Axial plane, Image width 240 mm, 1.00 mm slice spacing
FLAIR MRI.
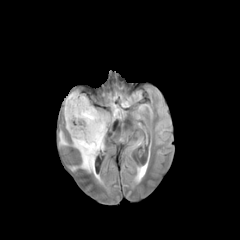
T1-weighted MR.
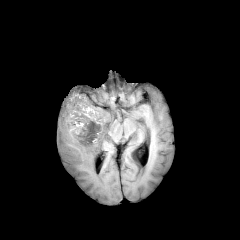
Post-contrast T1-weighted MR.
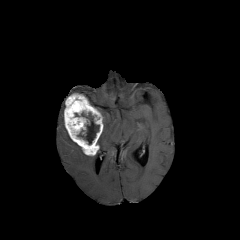
T2-weighted MR.
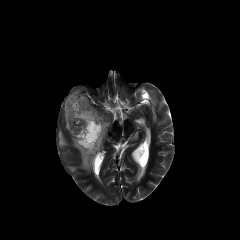
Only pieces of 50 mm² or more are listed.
necrotic tumor core: bounding box box=[78, 112, 99, 144]
enhancing tumor: bounding box box=[64, 93, 103, 155]
peritumoral edema: bounding box box=[98, 114, 107, 150]; box=[73, 142, 95, 173]; box=[59, 131, 68, 145]